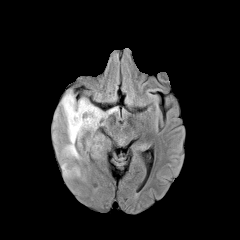
FLAIR MR image.
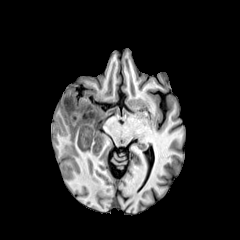
Same slice, T1-weighted MRI.
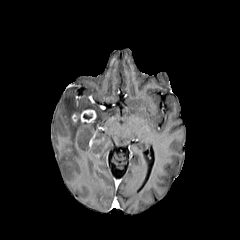
Post-contrast T1-weighted magnetic resonance.
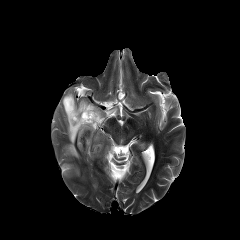
T2-weighted magnetic resonance.
Axial view, 240x240
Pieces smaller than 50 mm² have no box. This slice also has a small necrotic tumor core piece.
{
  "peritumoral_edema": [
    "60:90:117:159",
    "61:162:79:177"
  ],
  "enhancing_tumor": [
    "72:109:96:123"
  ]
}